FLAIR MRI.
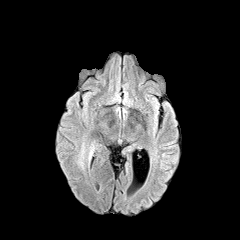
T1-weighted MR image.
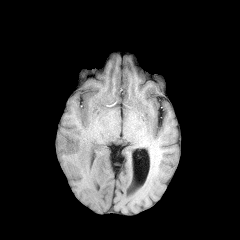
Post-contrast T1-weighted magnetic resonance.
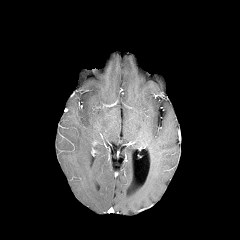
T2-weighted magnetic resonance.
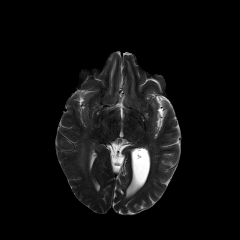
Brain
2 peritumoral edema regions appear at <box>87,143,95,161</box>, <box>78,142,86,169</box>.